Head; Image covers 240 mm x 240 mm; Axial plane; 240x240
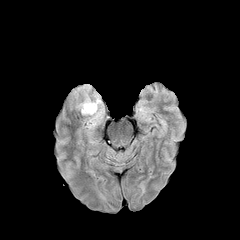
FLAIR MR.
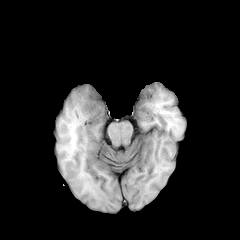
Same slice, T1-weighted MR.
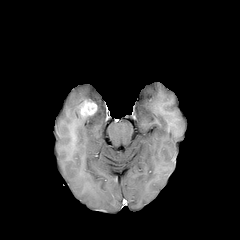
Same slice, post-contrast T1-weighted MR.
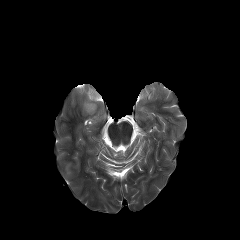
T2-weighted magnetic resonance of the same slice.
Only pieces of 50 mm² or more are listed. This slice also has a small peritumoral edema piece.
enhancing tumor — (x1=81, y1=100, x2=97, y2=115)